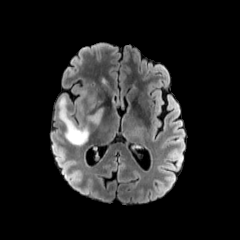
FLAIR magnetic resonance.
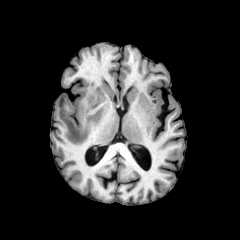
T1-weighted MR image.
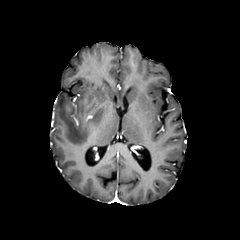
Post-contrast T1-weighted MRI of the same slice.
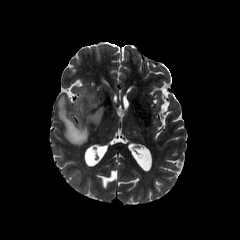
T2-weighted magnetic resonance.
240x240; Head
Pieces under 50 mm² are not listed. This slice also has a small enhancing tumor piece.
Annotated regions:
* peritumoral edema: (76, 90, 86, 114), (86, 108, 103, 124), (58, 95, 89, 145)